FLAIR magnetic resonance.
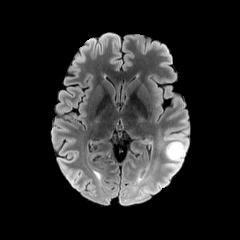
T1-weighted MR image.
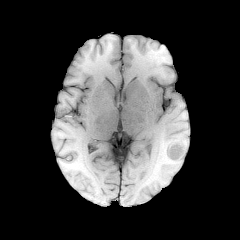
Post-contrast T1-weighted MR image.
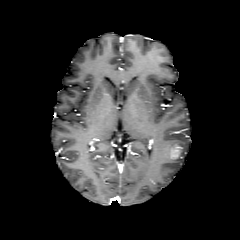
T2-weighted magnetic resonance.
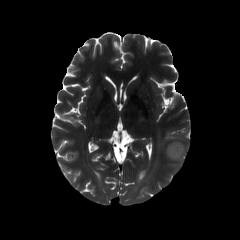
Axial slice | Image size 240x240
enhancing tumor = x1=169 y1=144 x2=183 y2=160
peritumoral edema = x1=164 y1=133 x2=188 y2=169